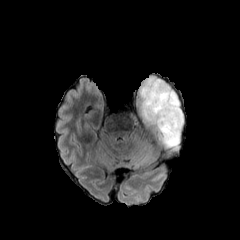
FLAIR MRI.
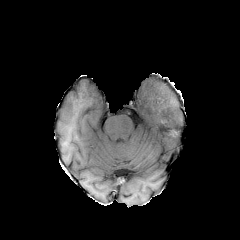
T1-weighted magnetic resonance.
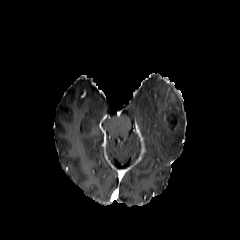
Post-contrast T1-weighted MR image.
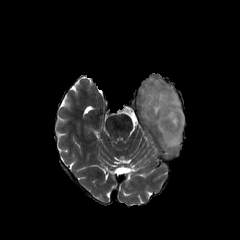
T2-weighted MR image.
Brain; Axial slice
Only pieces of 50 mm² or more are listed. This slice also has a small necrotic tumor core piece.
The peritumoral edema appears at [138, 77, 184, 149]. The enhancing tumor is at [160, 112, 177, 129].